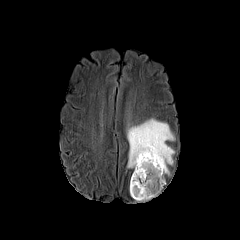
FLAIR MR image.
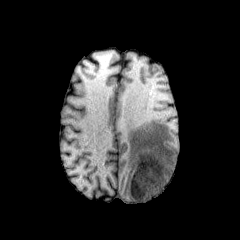
Same slice, T1-weighted magnetic resonance.
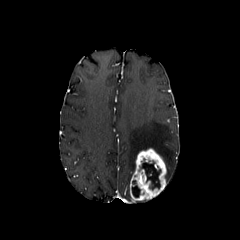
Same slice, post-contrast T1-weighted magnetic resonance.
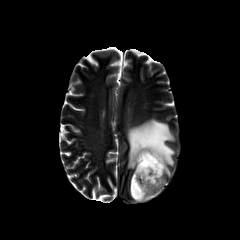
T2-weighted magnetic resonance.
240x240 px, Brain
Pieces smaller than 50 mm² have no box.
{
  "enhancing_tumor": [
    "bbox=[130, 148, 166, 201]"
  ],
  "peritumoral_edema": [
    "bbox=[127, 118, 174, 175]"
  ],
  "necrotic_tumor_core": [
    "bbox=[132, 180, 140, 197]",
    "bbox=[141, 162, 160, 189]"
  ]
}